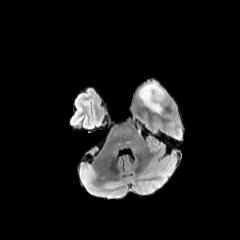
FLAIR MR.
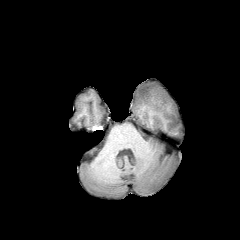
T1-weighted MR.
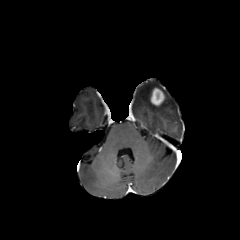
Post-contrast T1-weighted MRI.
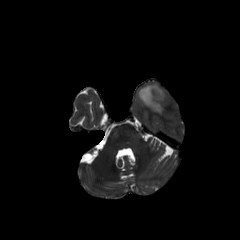
Same slice, T2-weighted MR.
Head.
The enhancing tumor is bounded by 150, 87, 165, 105. The peritumoral edema appears at 138, 81, 167, 114.